Brain; Slice 71/155; 240x240 px
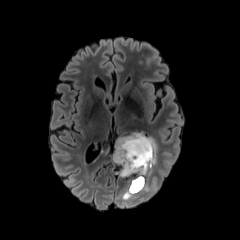
FLAIR MR image.
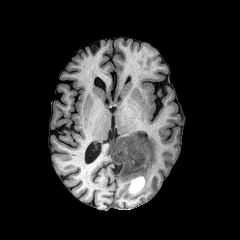
T1-weighted magnetic resonance.
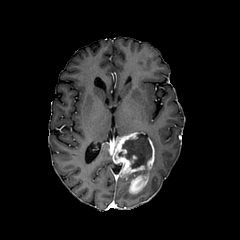
Same slice, post-contrast T1-weighted magnetic resonance.
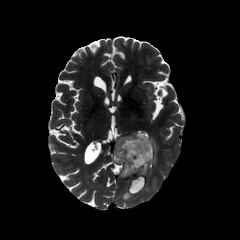
T2-weighted MR image.
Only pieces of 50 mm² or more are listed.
The 2 largest necrotic tumor core regions are bounded by box(130, 170, 146, 177); box(122, 134, 151, 168). The enhancing tumor is located at box(110, 132, 154, 193). The 3 largest peritumoral edema regions are located at box(141, 182, 150, 191); box(122, 189, 134, 199); box(150, 136, 158, 166).